Brain
FLAIR MR image.
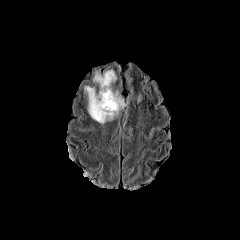
T1-weighted magnetic resonance.
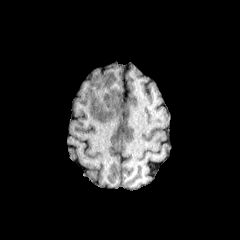
Post-contrast T1-weighted MR.
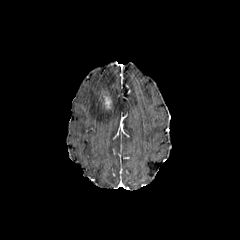
T2-weighted MR.
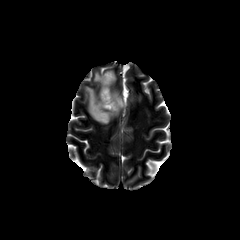
<segmentation>
  <peritumoral_edema>(85,70,126,123)</peritumoral_edema>
  <enhancing_tumor>(104,95,111,108)</enhancing_tumor>
</segmentation>